Slice index 68. Axial slice.
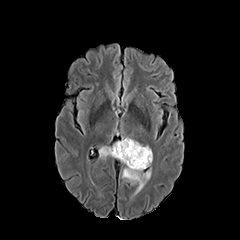
FLAIR magnetic resonance.
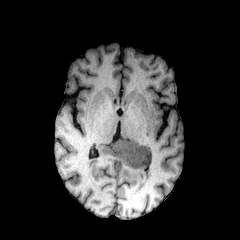
T1-weighted MR.
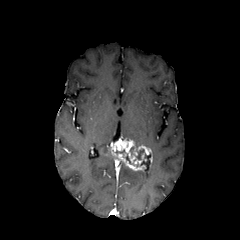
Post-contrast T1-weighted magnetic resonance.
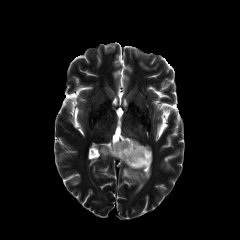
T2-weighted MRI.
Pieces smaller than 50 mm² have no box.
Segmented structures:
• enhancing tumor: 108, 138, 152, 170
• necrotic tumor core: 140, 154, 150, 166
• peritumoral edema: 99, 146, 112, 158; 122, 167, 150, 193